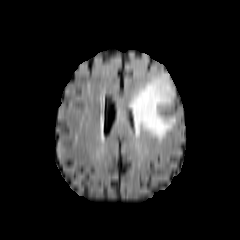
FLAIR MR.
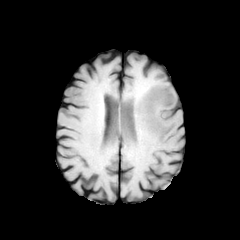
Same slice, T1-weighted MR image.
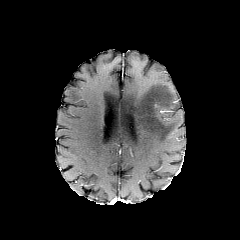
Post-contrast T1-weighted magnetic resonance.
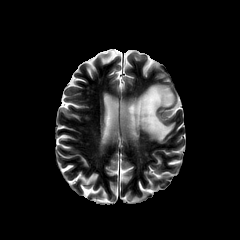
Same slice, T2-weighted MR image.
Brain, Axial plane
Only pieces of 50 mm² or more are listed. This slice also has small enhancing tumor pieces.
The peritumoral edema is bounded by box=[131, 78, 175, 142].